FLAIR MR.
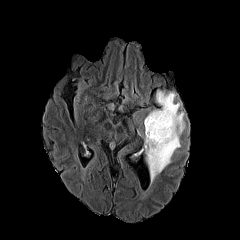
T1-weighted MR.
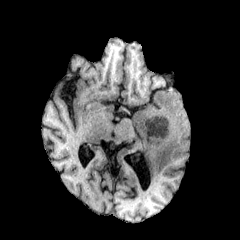
Post-contrast T1-weighted MR image.
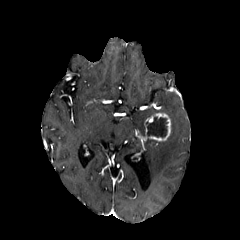
T2-weighted MR.
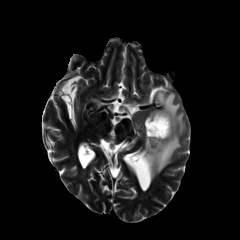
Axial plane | 240x240
peritumoral edema: x1=145 y1=91 x2=185 y2=182 | enhancing tumor: x1=144 y1=112 x2=171 y2=141 | necrotic tumor core: x1=146 y1=117 x2=167 y2=137